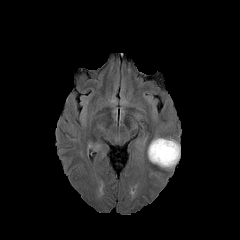
FLAIR MR image.
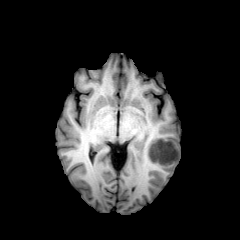
T1-weighted MRI.
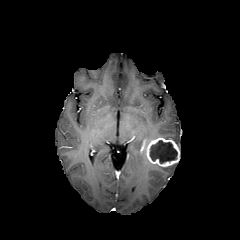
Same slice, post-contrast T1-weighted MRI.
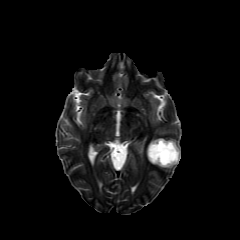
Same slice, T2-weighted MRI.
240x240
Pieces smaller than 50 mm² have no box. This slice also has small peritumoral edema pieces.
enhancing_tumor:
  - rect(146, 138, 180, 166)
necrotic_tumor_core:
  - rect(150, 140, 177, 163)